Slice 43 of 155; Brain; Image width 240 mm; Image size 240x240
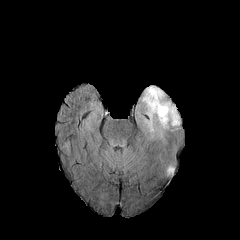
FLAIR MR.
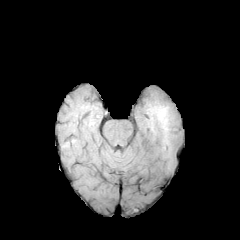
T1-weighted MR.
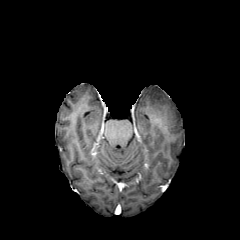
Post-contrast T1-weighted MR image of the same slice.
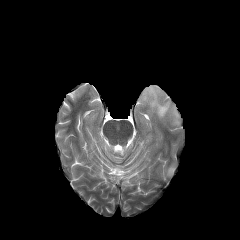
T2-weighted magnetic resonance.
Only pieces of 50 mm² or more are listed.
peritumoral edema — {"x1": 142, "y1": 86, "x2": 179, "y2": 130}